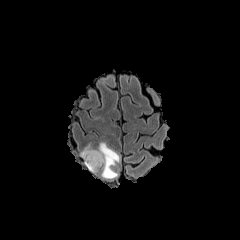
FLAIR MR.
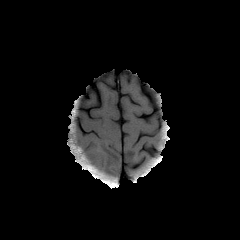
T1-weighted magnetic resonance.
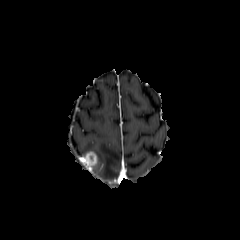
Post-contrast T1-weighted MR.
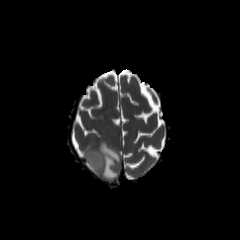
T2-weighted MRI of the same slice.
Image size 240x240 | Brain
The peritumoral edema lies within {"x1": 79, "y1": 142, "x2": 120, "y2": 179}. The enhancing tumor is located at {"x1": 81, "y1": 151, "x2": 97, "y2": 171}.